FLAIR MRI.
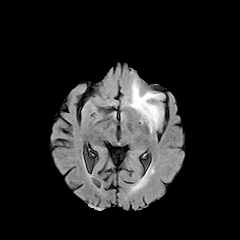
T1-weighted MR.
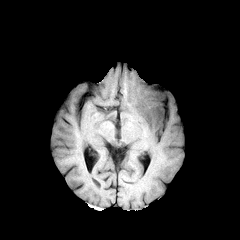
Post-contrast T1-weighted MR.
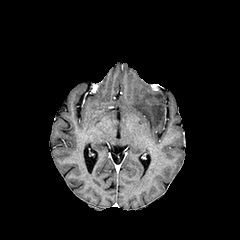
T2-weighted MR.
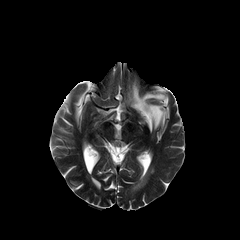
Head
peritumoral edema: (129, 80, 163, 132)